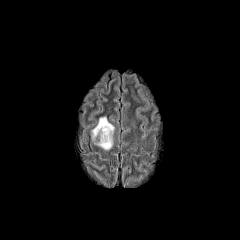
FLAIR MR image.
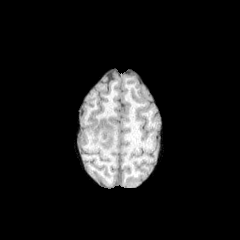
Same slice, T1-weighted magnetic resonance.
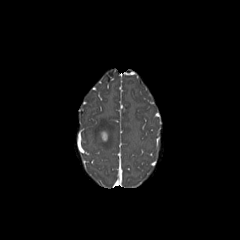
Post-contrast T1-weighted magnetic resonance.
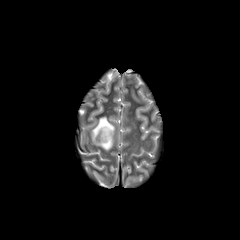
T2-weighted magnetic resonance.
240x240; Axial slice
<segmentation>
  <peritumoral_edema>bbox(91, 117, 114, 150)</peritumoral_edema>
  <enhancing_tumor>bbox(101, 131, 107, 141)</enhancing_tumor>
</segmentation>